Image width 240 mm, 1.00 mm slice spacing; Image size 240x240
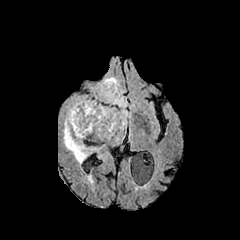
FLAIR MRI.
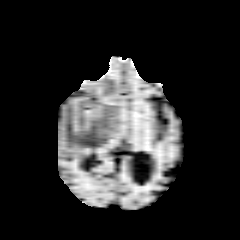
T1-weighted MR image.
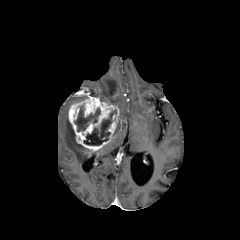
Post-contrast T1-weighted magnetic resonance.
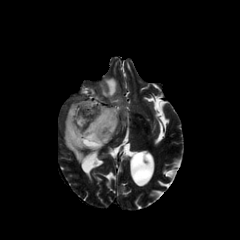
T2-weighted magnetic resonance.
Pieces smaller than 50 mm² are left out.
peritumoral edema: 96,77,130,120; 117,121,127,130; 64,114,88,163
necrotic tumor core: 75,105,100,131; 84,110,116,145
enhancing tumor: 68,96,126,151